FLAIR magnetic resonance.
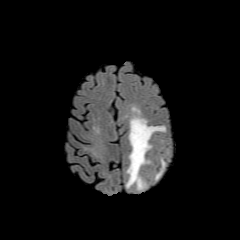
T1-weighted MR.
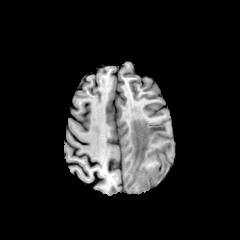
Post-contrast T1-weighted MR.
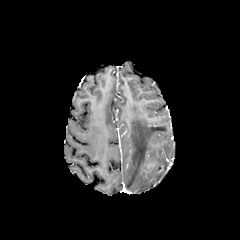
T2-weighted MRI.
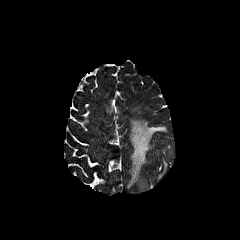
Head, Axial plane
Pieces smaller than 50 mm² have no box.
peritumoral edema — [126, 116, 165, 189]